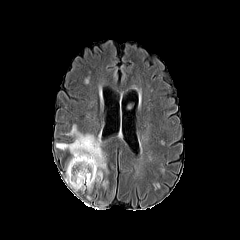
FLAIR MRI.
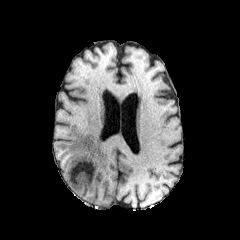
T1-weighted MR image of the same slice.
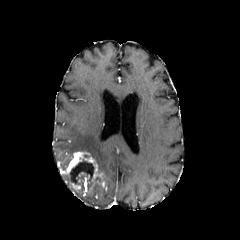
Post-contrast T1-weighted MRI.
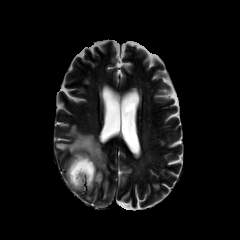
T2-weighted magnetic resonance of the same slice.
Axial view | Brain
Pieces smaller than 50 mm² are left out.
The largest necrotic tumor core region lies within <bbox>68, 160, 94, 189</bbox>. The largest peritumoral edema region is bounded by <bbox>56, 124, 108, 174</bbox>. The 3 largest enhancing tumor regions are located at <bbox>69, 181, 81, 191</bbox>, <bbox>64, 151, 106, 190</bbox>, <bbox>78, 172, 89, 187</bbox>.